FLAIR MR.
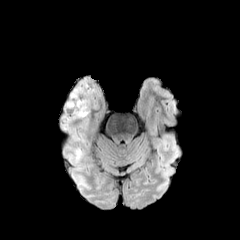
T1-weighted magnetic resonance.
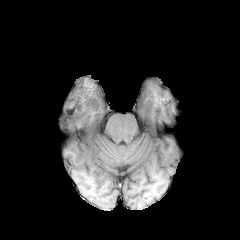
Post-contrast T1-weighted magnetic resonance.
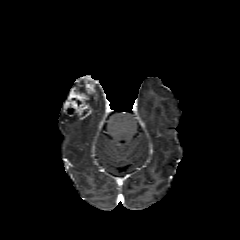
T2-weighted MR.
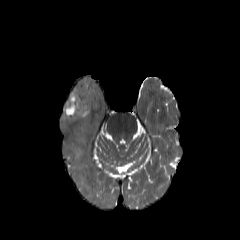
Axial slice
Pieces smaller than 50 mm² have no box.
The largest peritumoral edema region is bounded by l=64, t=113, r=80, b=121. The largest necrotic tumor core region is located at l=78, t=86, r=87, b=95. The largest enhancing tumor region is located at l=65, t=79, r=94, b=119.